FLAIR MR image.
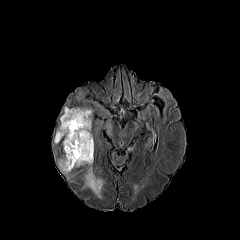
T1-weighted MR.
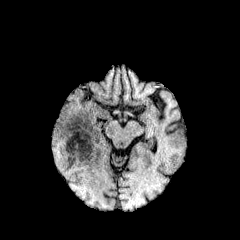
Post-contrast T1-weighted magnetic resonance.
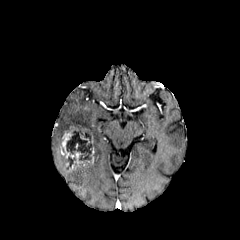
T2-weighted MR.
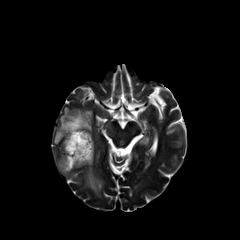
240x240 px, Axial plane
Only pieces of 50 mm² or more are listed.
- enhancing tumor: <box>62,125,94,170</box>
- necrotic tumor core: <box>66,130,92,160</box>
- peritumoral edema: <box>58,155,75,173</box>, <box>84,164,103,197</box>, <box>54,107,92,143</box>